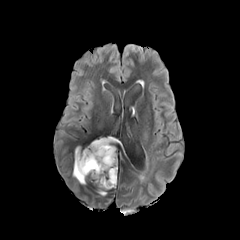
FLAIR magnetic resonance.
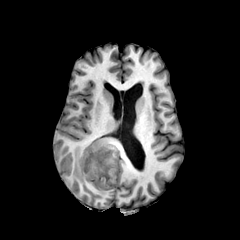
Same slice, T1-weighted MRI.
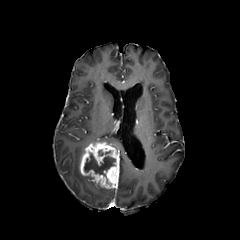
Post-contrast T1-weighted MR image.
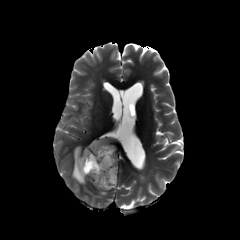
T2-weighted MRI of the same slice.
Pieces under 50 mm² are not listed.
The 2 largest peritumoral edema regions appear at x1=93, y1=136, x2=118, y2=144; x1=73, y1=146, x2=85, y2=184. The enhancing tumor is at x1=80, y1=142, x2=119, y2=188. The largest necrotic tumor core region is at x1=84, y1=153, x2=115, y2=176.